240x240
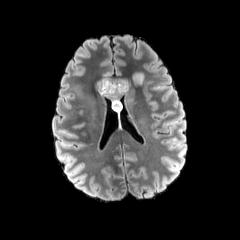
FLAIR magnetic resonance.
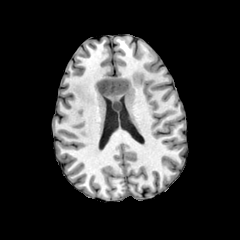
T1-weighted magnetic resonance.
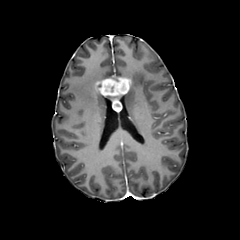
Post-contrast T1-weighted magnetic resonance of the same slice.
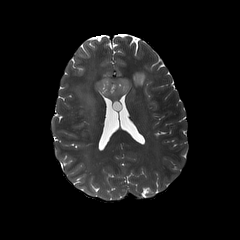
Same slice, T2-weighted magnetic resonance.
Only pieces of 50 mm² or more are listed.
{"enhancing_tumor": ["box(96, 77, 132, 111)"], "peritumoral_edema": ["box(130, 71, 144, 86)", "box(73, 83, 96, 117)"]}